Head | Image size 240x240 | Image width 240 mm
FLAIR magnetic resonance.
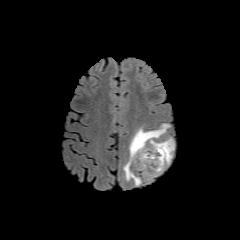
T1-weighted MRI.
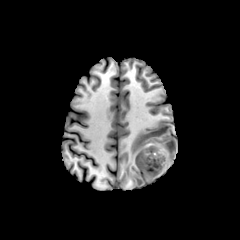
Post-contrast T1-weighted magnetic resonance.
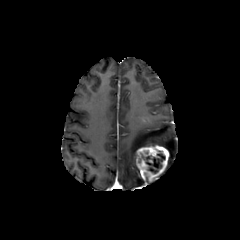
T2-weighted MR image.
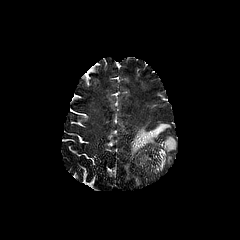
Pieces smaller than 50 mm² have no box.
The largest necrotic tumor core region lies within (left=145, top=151, right=165, bottom=173). 2 peritumoral edema regions are bounded by (left=123, top=124, right=170, bottom=185), (left=157, top=137, right=174, bottom=164). The largest enhancing tumor region is bounded by (left=132, top=143, right=169, bottom=181).